Axial plane
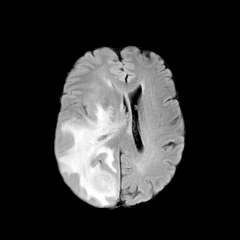
FLAIR MR image.
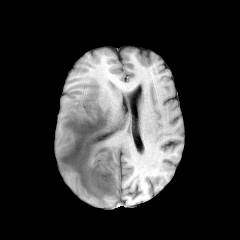
Same slice, T1-weighted magnetic resonance.
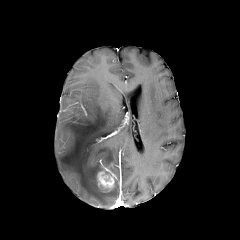
Post-contrast T1-weighted MR of the same slice.
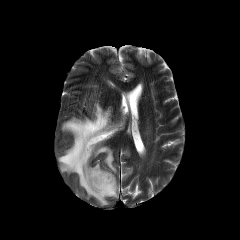
T2-weighted MRI.
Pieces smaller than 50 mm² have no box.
The enhancing tumor lies within (97,168,115,192). The largest peritumoral edema region lies within (58,102,121,205).